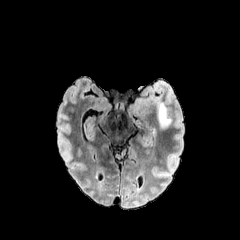
FLAIR MRI.
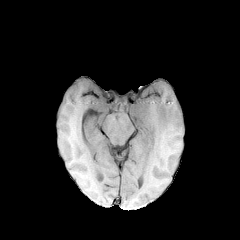
T1-weighted MR image.
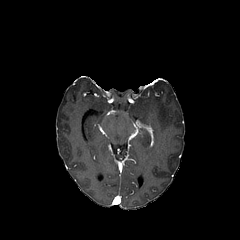
Same slice, post-contrast T1-weighted MR image.
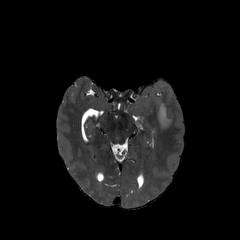
T2-weighted MR image of the same slice.
peritumoral edema: bounding box 158,102,172,129